Image covers 240 mm x 240 mm
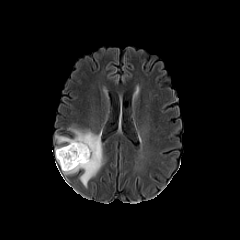
FLAIR MR image.
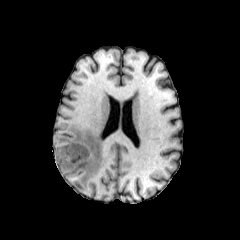
T1-weighted MR.
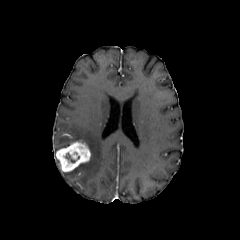
Post-contrast T1-weighted MR.
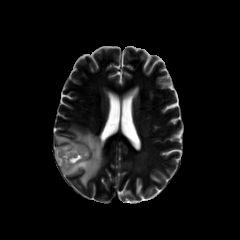
T2-weighted MRI.
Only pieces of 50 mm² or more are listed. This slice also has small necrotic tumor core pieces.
The peritumoral edema lies within 55,128,104,187. The enhancing tumor is at 56,141,90,172.